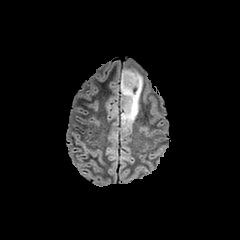
FLAIR magnetic resonance.
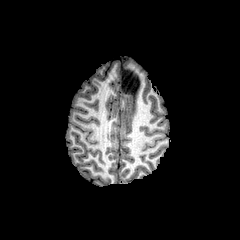
Same slice, T1-weighted magnetic resonance.
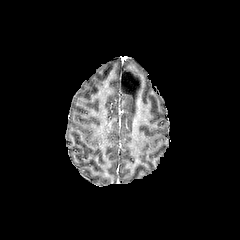
Same slice, post-contrast T1-weighted MR image.
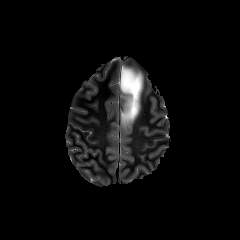
Same slice, T2-weighted MRI.
Axial slice
peritumoral edema — left=121, top=67, right=143, bottom=128